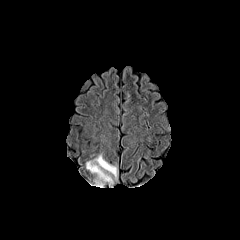
FLAIR MR.
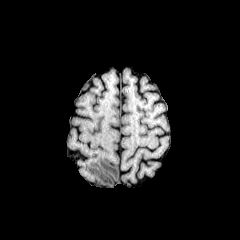
T1-weighted magnetic resonance of the same slice.
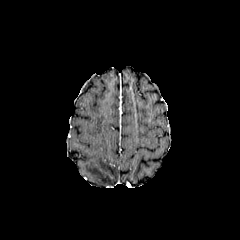
Post-contrast T1-weighted MRI.
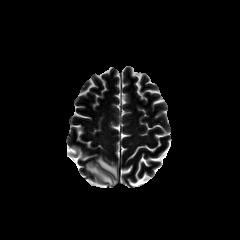
T2-weighted MR.
Axial view
peritumoral edema — [x1=86, y1=155, x2=117, y2=187]